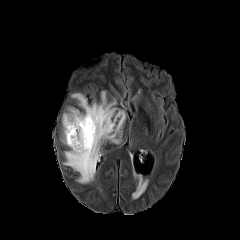
FLAIR magnetic resonance.
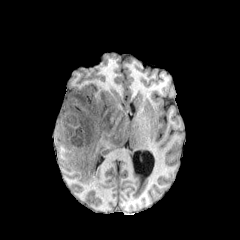
T1-weighted MR image of the same slice.
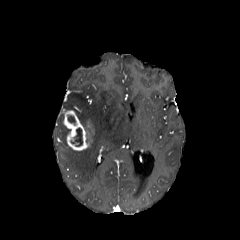
Post-contrast T1-weighted MR image.
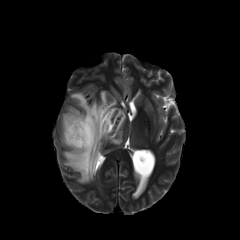
T2-weighted MR of the same slice.
240x240
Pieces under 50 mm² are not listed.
Annotated regions:
- peritumoral edema: (62,114,68,145), (132,167,148,199), (63,90,125,183)
- necrotic tumor core: (70,127,82,146), (68,115,75,124)
- enhancing tumor: (63,110,94,150)